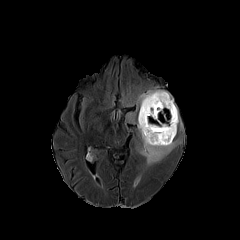
FLAIR MR image.
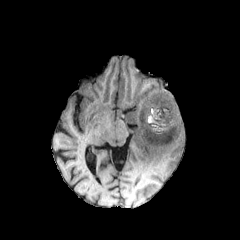
T1-weighted MR.
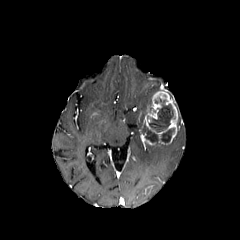
Post-contrast T1-weighted MR image of the same slice.
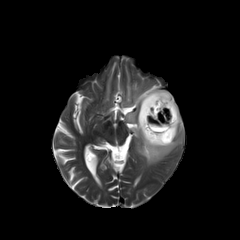
Same slice, T2-weighted MR.
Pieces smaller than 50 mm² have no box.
necrotic tumor core = bbox(148, 99, 173, 131); bbox(141, 124, 158, 144); bbox(161, 128, 174, 142)
enhancing tumor = bbox(139, 90, 178, 145); bbox(140, 132, 156, 145)
peritumoral edema = bbox(137, 115, 142, 129); bbox(136, 87, 162, 114); bbox(140, 139, 180, 165); bbox(128, 113, 135, 121)